FLAIR magnetic resonance.
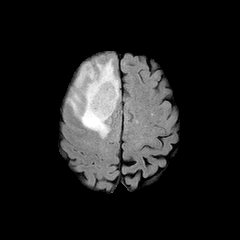
T1-weighted MR.
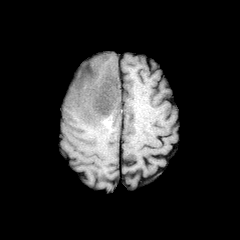
Post-contrast T1-weighted magnetic resonance.
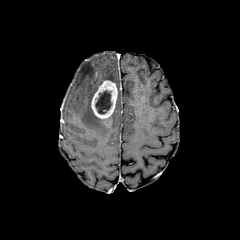
T2-weighted MRI.
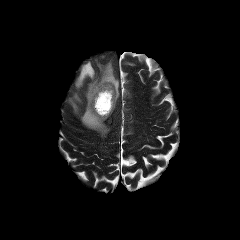
Image size 240x240
peritumoral edema — region(69, 59, 119, 137)
necrotic tumor core — region(95, 90, 111, 114)
enhancing tumor — region(91, 80, 117, 118)